Axial view, Slice index 47
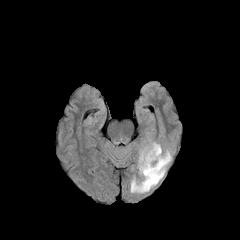
FLAIR MRI.
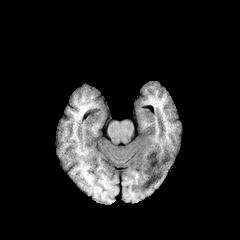
T1-weighted MRI.
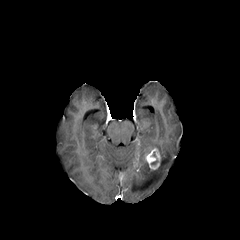
Post-contrast T1-weighted MR image of the same slice.
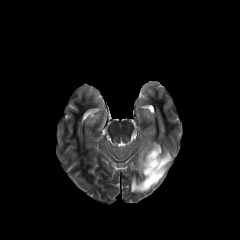
T2-weighted MR.
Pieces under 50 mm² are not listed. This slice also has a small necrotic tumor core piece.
peritumoral_edema:
  - (left=130, top=136, right=172, bottom=193)
enhancing_tumor:
  - (left=144, top=148, right=160, bottom=170)